Axial view. Slice index 42. Brain. 240x240 px.
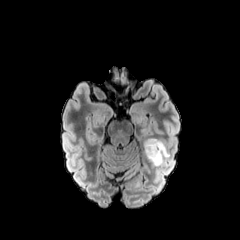
FLAIR MRI.
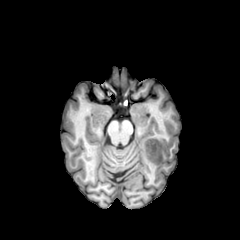
T1-weighted MR.
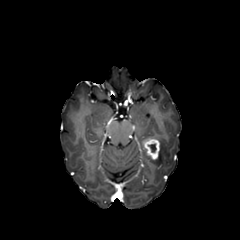
Post-contrast T1-weighted MR of the same slice.
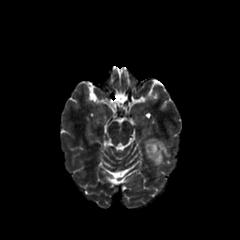
T2-weighted MR of the same slice.
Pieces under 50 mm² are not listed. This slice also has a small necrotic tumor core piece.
<segmentation>
  <enhancing_tumor>left=143, top=138, right=159, bottom=159</enhancing_tumor>
  <peritumoral_edema>left=144, top=139, right=169, bottom=166</peritumoral_edema>
</segmentation>